FLAIR MR image.
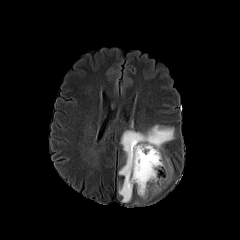
T1-weighted magnetic resonance.
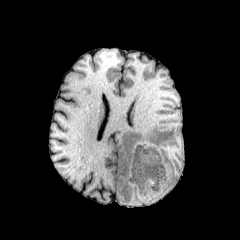
Post-contrast T1-weighted MRI.
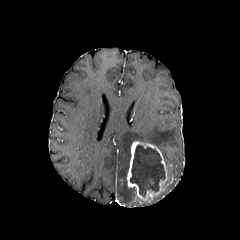
T2-weighted MRI.
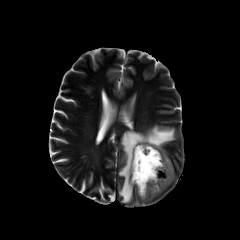
The necrotic tumor core appears at <bbox>130, 145, 165, 196</bbox>. 2 peritumoral edema regions are bounded by <bbox>161, 157, 172, 191</bbox>, <bbox>118, 125, 174, 202</bbox>. The enhancing tumor lies within <bbox>126, 141, 167, 201</bbox>.